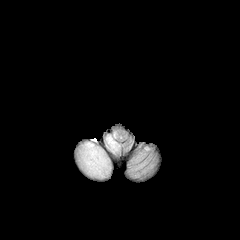
FLAIR MR.
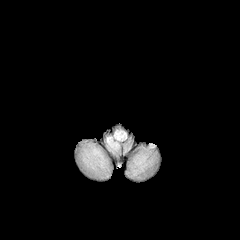
Same slice, T1-weighted MR.
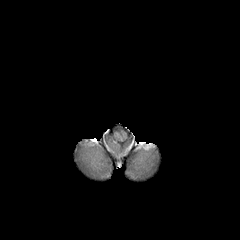
Post-contrast T1-weighted magnetic resonance.
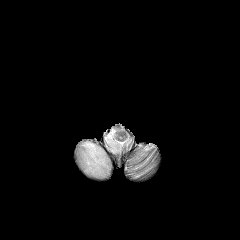
T2-weighted MR of the same slice.
<segmentation>
  <peritumoral_edema>105,131,120,153; 78,142,110,177</peritumoral_edema>
</segmentation>